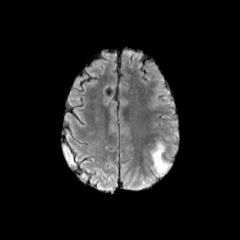
FLAIR magnetic resonance.
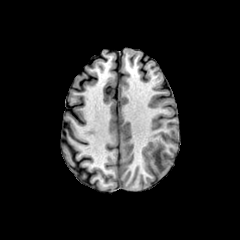
T1-weighted magnetic resonance.
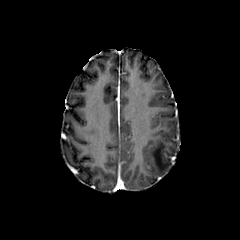
Post-contrast T1-weighted magnetic resonance of the same slice.
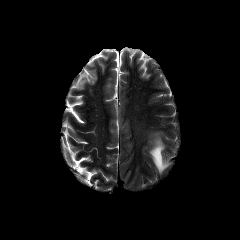
T2-weighted MR image.
Axial view | Head | 240x240
peritumoral edema: (151,141,169,173)